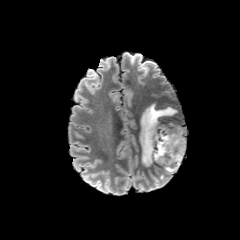
FLAIR MR image.
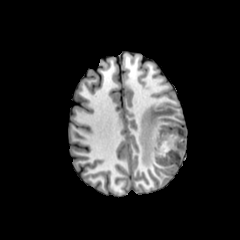
T1-weighted MR.
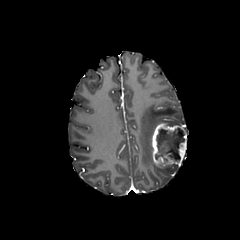
Post-contrast T1-weighted MR.
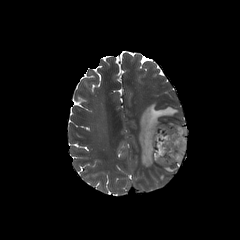
T2-weighted MR.
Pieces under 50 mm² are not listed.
peritumoral edema: box(139, 103, 177, 166); box(164, 165, 178, 173) | enhancing tumor: box(151, 123, 186, 166) | necrotic tumor core: box(155, 127, 184, 161)